240x240 px | Head | Axial view
FLAIR magnetic resonance.
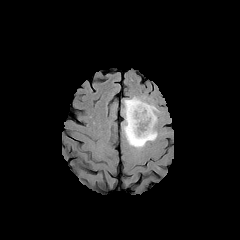
T1-weighted magnetic resonance.
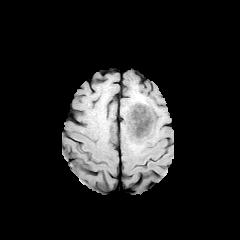
Post-contrast T1-weighted MRI.
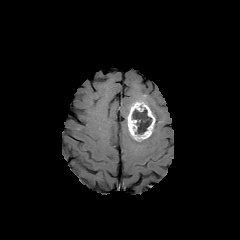
T2-weighted MRI.
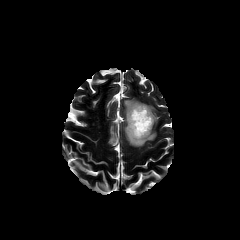
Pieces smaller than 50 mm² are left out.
<segmentation>
  <enhancing_tumor>l=127, t=101, r=155, b=141</enhancing_tumor>
  <necrotic_tumor_core>l=132, t=110, r=138, b=120; l=135, t=119, r=150, b=134</necrotic_tumor_core>
  <peritumoral_edema>l=146, t=103, r=158, b=125; l=122, t=97, r=157, b=148</peritumoral_edema>
</segmentation>